FLAIR MRI.
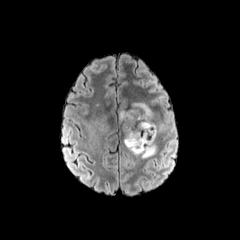
T1-weighted MRI.
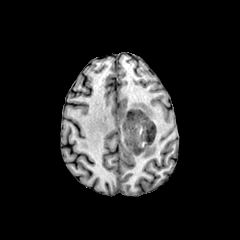
Post-contrast T1-weighted MR.
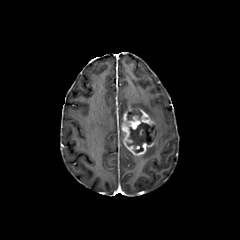
T2-weighted MR image.
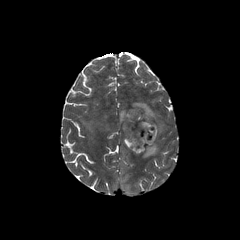
Brain
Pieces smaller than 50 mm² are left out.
The enhancing tumor is located at 121,109,154,155. The 4 largest peritumoral edema regions are bounded by 119,109,127,123; 131,102,155,120; 154,123,167,139; 140,143,156,158. 2 necrotic tumor core regions are located at 127,122,153,152; 127,111,142,120.